FLAIR MRI.
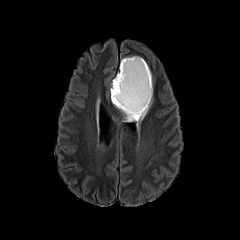
T1-weighted MRI.
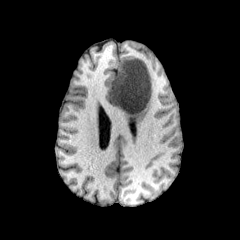
Post-contrast T1-weighted MR.
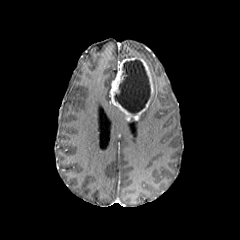
T2-weighted MR.
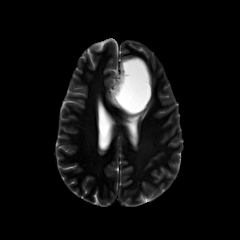
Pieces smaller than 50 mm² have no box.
necrotic tumor core = (114,59,150,114)
peritumoral edema = (129,96,152,129)
enhancing tumor = (110,57,153,121)